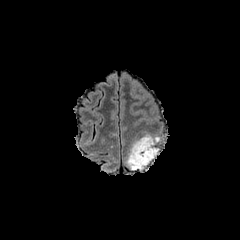
FLAIR MR.
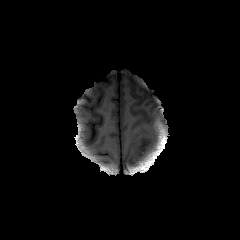
T1-weighted MRI.
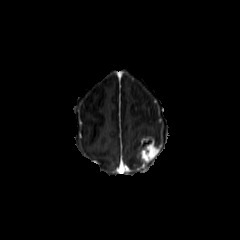
Same slice, post-contrast T1-weighted magnetic resonance.
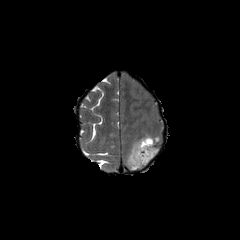
T2-weighted magnetic resonance.
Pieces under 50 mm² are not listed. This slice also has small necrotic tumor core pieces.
enhancing tumor at 137:136:159:165
peritumoral edema at 142:133:161:144, 127:138:142:169